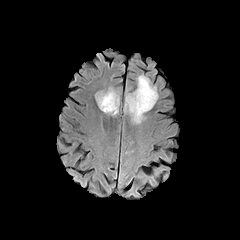
FLAIR MR image.
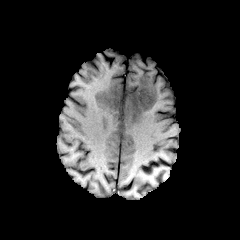
Same slice, T1-weighted magnetic resonance.
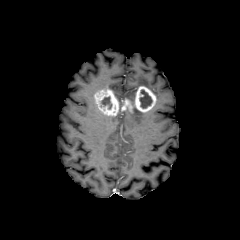
Post-contrast T1-weighted magnetic resonance.
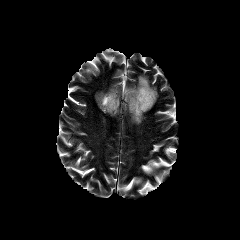
T2-weighted MR.
Brain
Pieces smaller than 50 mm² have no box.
necrotic tumor core: box=[140, 90, 152, 108]; box=[102, 97, 111, 108]
enhancing tumor: box=[94, 86, 156, 115]
peritumoral edema: box=[137, 74, 158, 99]; box=[125, 88, 136, 99]; box=[124, 109, 145, 124]; box=[108, 87, 123, 106]